240x240; Brain
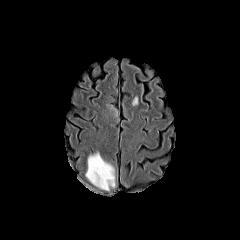
FLAIR magnetic resonance.
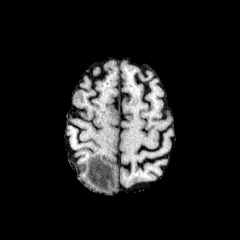
T1-weighted MRI.
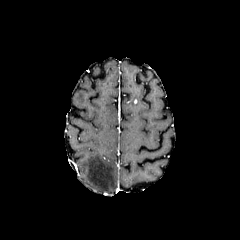
Post-contrast T1-weighted MRI.
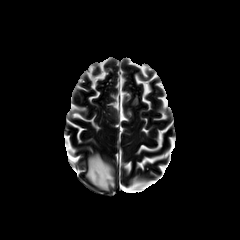
T2-weighted MRI of the same slice.
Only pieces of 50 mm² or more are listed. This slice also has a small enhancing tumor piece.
3 peritumoral edema regions are located at [x1=85, y1=150, x2=116, y2=190], [x1=105, y1=102, x2=119, y2=122], [x1=132, y1=95, x2=138, y2=106].